FLAIR MRI.
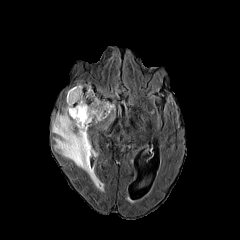
T1-weighted magnetic resonance.
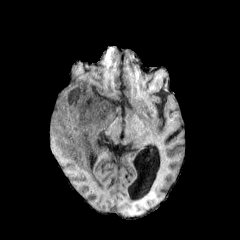
Post-contrast T1-weighted MRI.
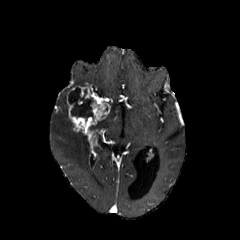
T2-weighted MR.
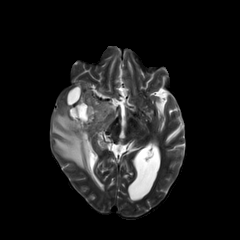
Brain; 240x240 px
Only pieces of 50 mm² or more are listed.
necrotic tumor core at left=68, top=87, right=93, bottom=120
enhancing tumor at left=67, top=85, right=111, bottom=154
peritumoral edema at left=52, top=105, right=99, bottom=184; left=109, top=104, right=115, bottom=121